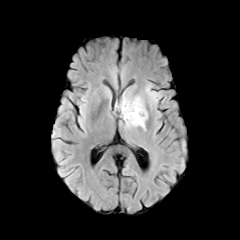
FLAIR magnetic resonance.
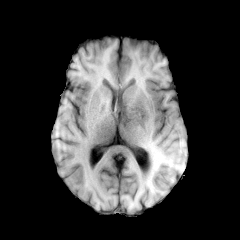
Same slice, T1-weighted MR.
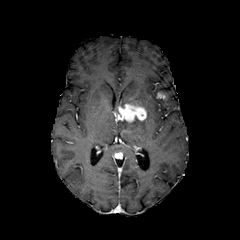
Post-contrast T1-weighted MR image.
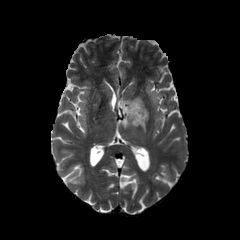
T2-weighted MRI of the same slice.
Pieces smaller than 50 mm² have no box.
peritumoral edema at l=146, t=85, r=157, b=102; l=120, t=96, r=144, b=106; l=121, t=119, r=145, b=129
enhancing tumor at l=118, t=102, r=146, b=122